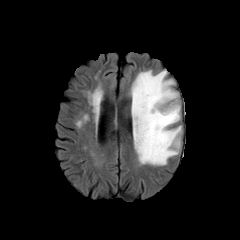
FLAIR MR image.
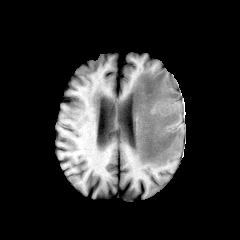
T1-weighted MRI.
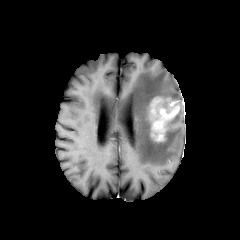
Post-contrast T1-weighted magnetic resonance of the same slice.
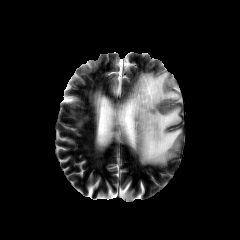
T2-weighted MR.
Head
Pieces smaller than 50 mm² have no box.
{
  "enhancing_tumor": [
    "bbox(149, 97, 179, 141)"
  ],
  "peritumoral_edema": [
    "bbox(131, 70, 182, 165)"
  ]
}